FLAIR magnetic resonance.
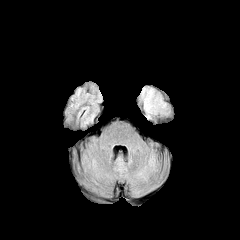
T1-weighted MR.
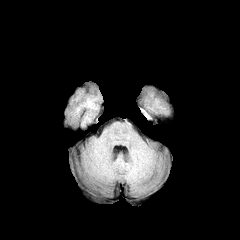
Post-contrast T1-weighted MR image.
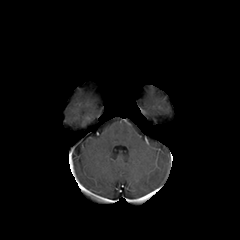
T2-weighted MR.
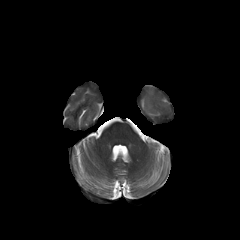
Brain; Axial view
peritumoral edema — 137, 86, 169, 113